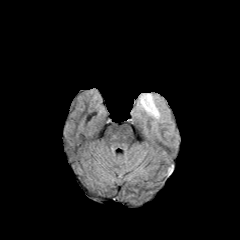
FLAIR MR image.
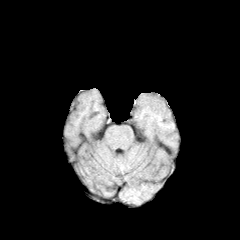
T1-weighted MR image of the same slice.
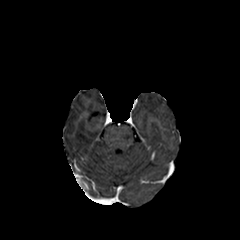
Same slice, post-contrast T1-weighted MR.
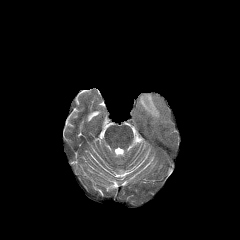
Same slice, T2-weighted MR image.
Axial plane; 240x240 px
peritumoral_edema:
  - [140,93,159,118]